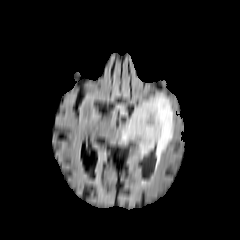
FLAIR MR.
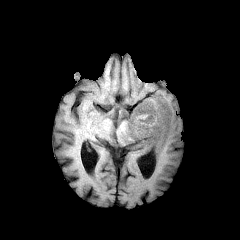
Same slice, T1-weighted magnetic resonance.
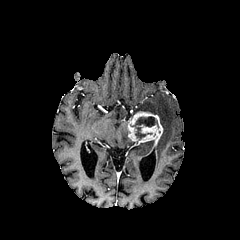
Same slice, post-contrast T1-weighted MR image.
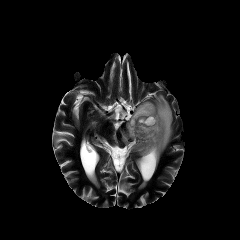
Same slice, T2-weighted MR image.
Brain; Axial slice
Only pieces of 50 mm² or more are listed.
peritumoral edema: 134,141,154,153; 121,120,131,143; 131,94,174,163
enhancing tumor: 127,111,163,144
necrotic tumor core: 131,116,158,139